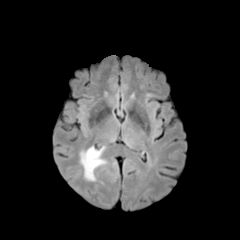
FLAIR magnetic resonance.
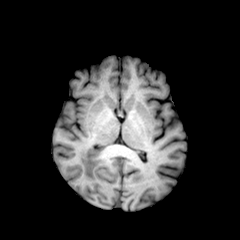
T1-weighted MR.
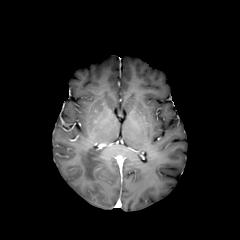
Same slice, post-contrast T1-weighted MRI.
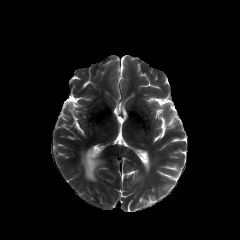
T2-weighted magnetic resonance.
240x240. Axial slice.
peritumoral edema = box=[80, 147, 105, 181]